Slice index 105; Brain; Axial view; Image width 240 mm, 1.00 mm slice spacing
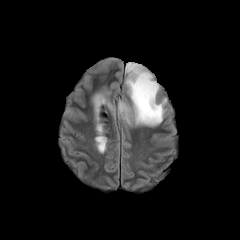
FLAIR MR image.
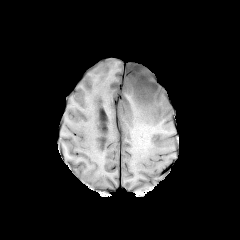
T1-weighted MR image.
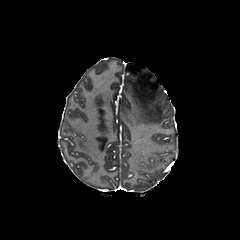
Post-contrast T1-weighted MR image.
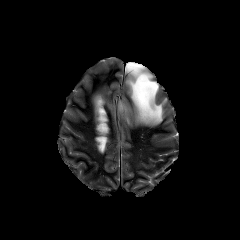
T2-weighted MRI.
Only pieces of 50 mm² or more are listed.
<segmentation>
  <peritumoral_edema>box=[118, 101, 130, 122]; box=[125, 62, 166, 125]; box=[94, 94, 105, 111]</peritumoral_edema>
</segmentation>